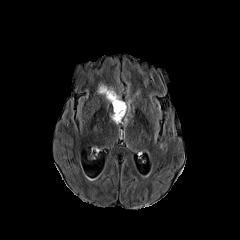
FLAIR magnetic resonance.
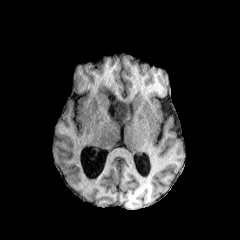
Same slice, T1-weighted MR image.
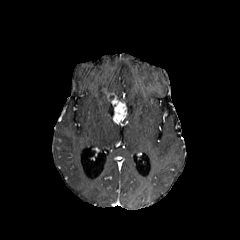
Post-contrast T1-weighted MR image of the same slice.
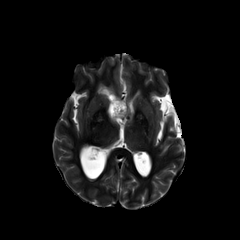
Same slice, T2-weighted MR.
Axial view
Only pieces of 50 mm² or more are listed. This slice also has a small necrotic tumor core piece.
• peritumoral edema: 97, 84, 123, 101
• enhancing tumor: 104, 88, 126, 123